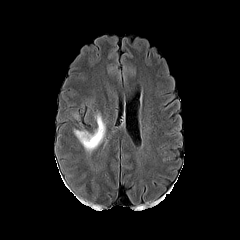
FLAIR MRI.
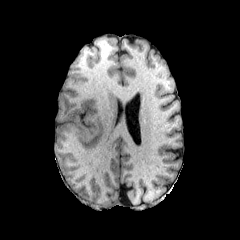
T1-weighted MR image.
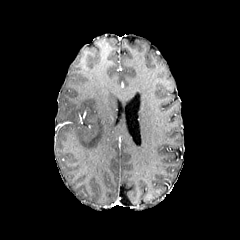
Post-contrast T1-weighted MR.
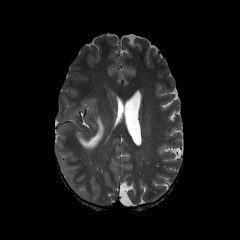
Same slice, T2-weighted MRI.
Brain; Image size 240x240; Axial slice
peritumoral edema: box=[72, 112, 105, 152]